FLAIR MR image.
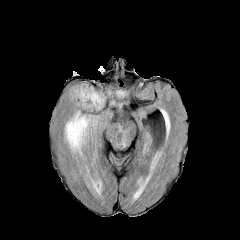
T1-weighted MR image.
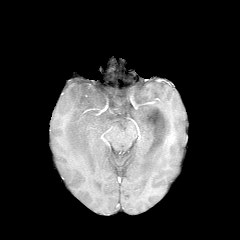
Post-contrast T1-weighted magnetic resonance.
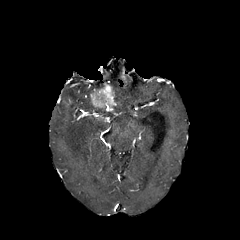
T2-weighted MR.
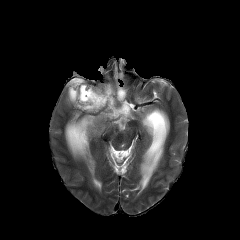
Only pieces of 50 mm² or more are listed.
The largest enhancing tumor region lies within left=89, top=84, right=116, bottom=108. The 3 largest peritumoral edema regions appear at left=65, top=112, right=97, bottom=156; left=70, top=85, right=93, bottom=109; left=115, top=90, right=125, bottom=97.